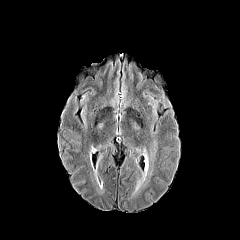
FLAIR magnetic resonance.
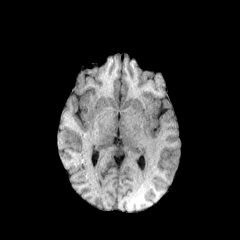
T1-weighted MRI.
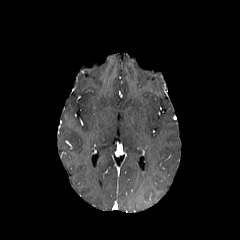
Same slice, post-contrast T1-weighted MR.
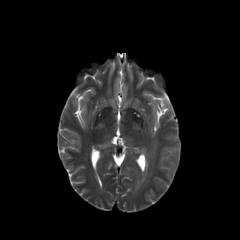
T2-weighted MR of the same slice.
Axial plane
Annotated regions:
• peritumoral edema: rect(132, 139, 156, 196)